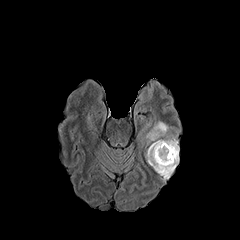
FLAIR MR image.
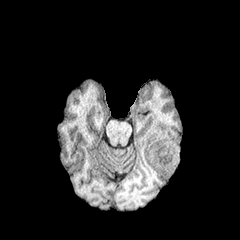
Same slice, T1-weighted MRI.
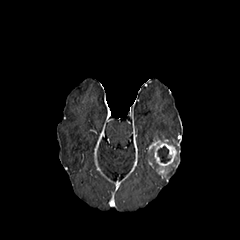
Post-contrast T1-weighted MRI.
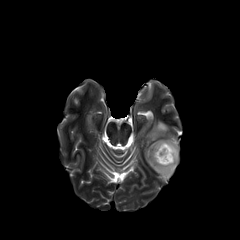
T2-weighted MR.
Axial view, Brain
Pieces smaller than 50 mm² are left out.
Segmented structures:
• peritumoral edema: [167, 161, 178, 178], [146, 121, 179, 150]
• enhancing tumor: [148, 137, 178, 178]
• necrotic tumor core: [157, 146, 170, 163]